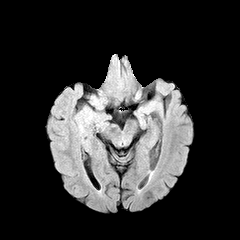
FLAIR MR.
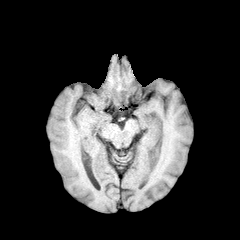
T1-weighted MR.
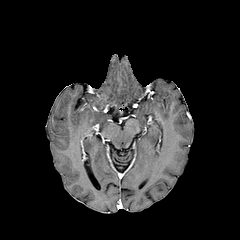
Post-contrast T1-weighted MR.
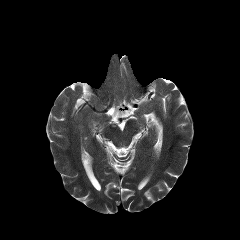
T2-weighted MR of the same slice.
Brain, 240x240
2 peritumoral edema regions are located at <box>77,108,96,129</box>, <box>91,96,101,107</box>.